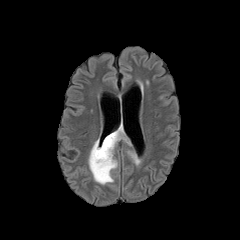
FLAIR MRI.
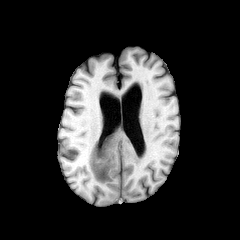
T1-weighted MR image.
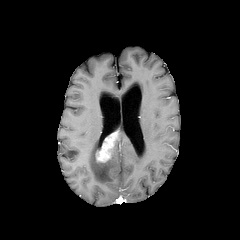
Post-contrast T1-weighted MR image of the same slice.
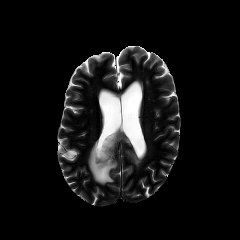
T2-weighted MR.
enhancing tumor — x1=96 y1=130 x2=119 y2=162
peritumoral edema — x1=127 y1=150 x2=140 y2=165, x1=88 y1=122 x2=131 y2=184